Image covers 240 mm x 240 mm, Axial plane
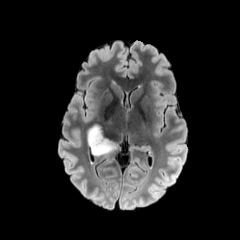
FLAIR MR.
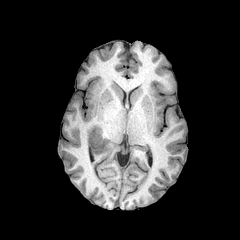
T1-weighted MR image of the same slice.
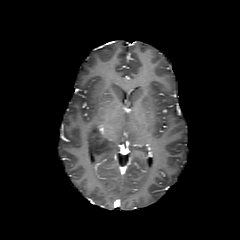
Post-contrast T1-weighted MR.
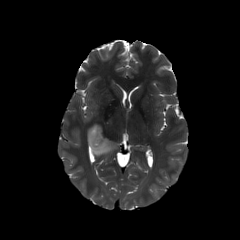
Same slice, T2-weighted MR.
• peritumoral edema: 87:119:121:155